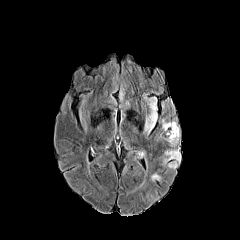
FLAIR MRI.
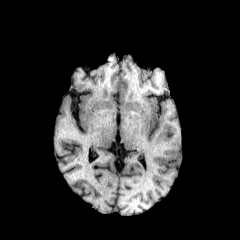
Same slice, T1-weighted MR.
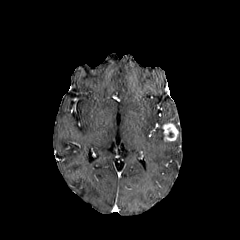
Same slice, post-contrast T1-weighted MRI.
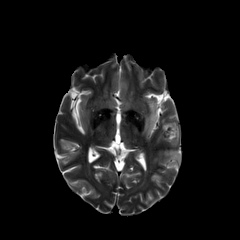
T2-weighted MR image of the same slice.
Axial view. Brain. 240x240 px.
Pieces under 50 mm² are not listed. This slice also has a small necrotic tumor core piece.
Findings:
- peritumoral edema: left=162, top=119, right=179, bottom=145; left=144, top=100, right=157, bottom=133; left=164, top=149, right=181, bottom=168
- enhancing tumor: left=162, top=123, right=178, bottom=141